Image width 240 mm
FLAIR MR.
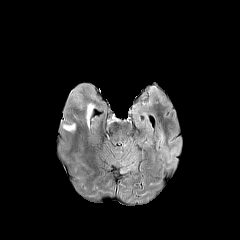
T1-weighted magnetic resonance.
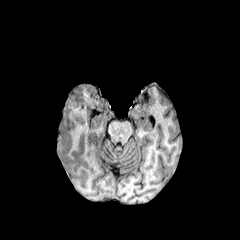
Post-contrast T1-weighted MR.
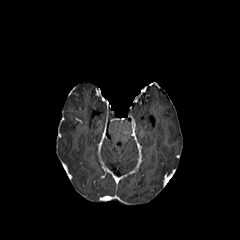
T2-weighted MR.
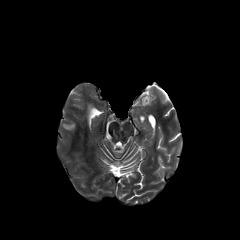
peritumoral edema at box=[63, 124, 74, 130]; box=[74, 95, 93, 122]